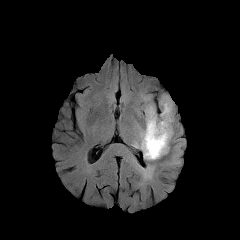
FLAIR magnetic resonance.
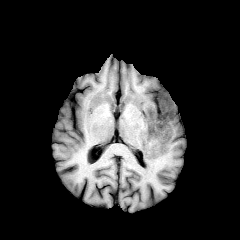
T1-weighted MRI.
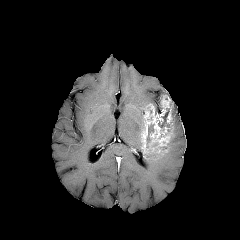
Post-contrast T1-weighted MR image.
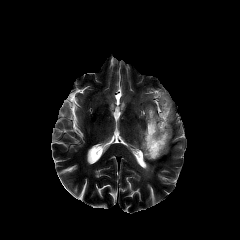
T2-weighted MR image.
240x240 px.
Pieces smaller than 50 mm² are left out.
{
  "necrotic_tumor_core": [
    "(147, 125, 153, 144)",
    "(158, 110, 168, 127)"
  ],
  "enhancing_tumor": [
    "(141, 94, 173, 156)"
  ],
  "peritumoral_edema": [
    "(142, 153, 163, 177)",
    "(141, 95, 152, 114)",
    "(132, 122, 144, 152)"
  ]
}